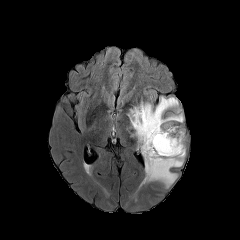
FLAIR MRI.
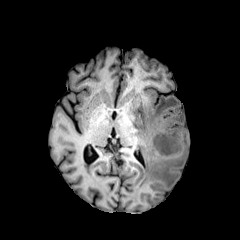
Same slice, T1-weighted MR image.
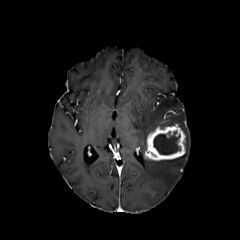
Post-contrast T1-weighted MRI.
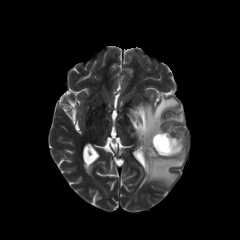
T2-weighted MRI.
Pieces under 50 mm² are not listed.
peritumoral edema: box(143, 153, 185, 187); box(128, 96, 183, 155)
enhancing tumor: box(144, 124, 185, 160)
necrotic tumor core: box(153, 132, 180, 154)